Slice index 52; Image size 240x240; Brain
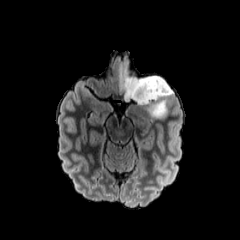
FLAIR magnetic resonance.
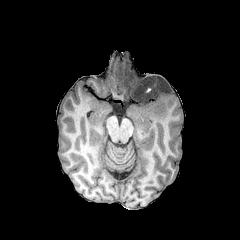
Same slice, T1-weighted MR.
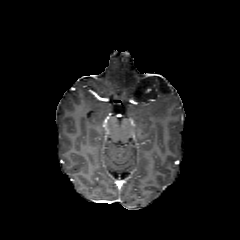
Same slice, post-contrast T1-weighted MRI.
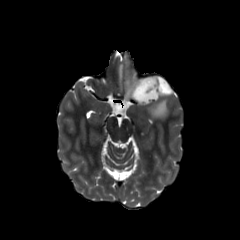
T2-weighted MR.
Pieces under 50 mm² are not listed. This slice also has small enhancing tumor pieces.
peritumoral edema: l=119, t=64, r=173, b=118